Axial plane | Image width 240 mm
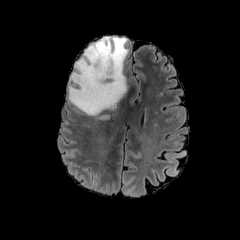
FLAIR magnetic resonance.
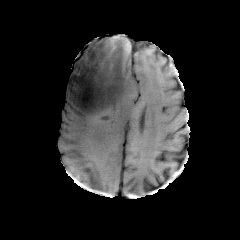
T1-weighted MRI.
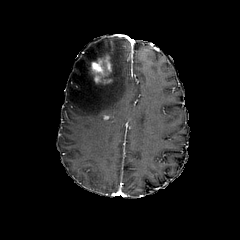
Same slice, post-contrast T1-weighted MR.
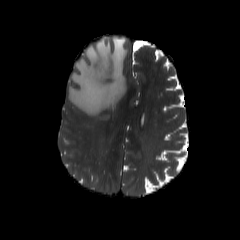
T2-weighted MR image of the same slice.
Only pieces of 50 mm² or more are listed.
<segmentation>
  <enhancing_tumor>90:55:112:85</enhancing_tumor>
  <peritumoral_edema>68:36:128:116</peritumoral_edema>
</segmentation>